Brain. Axial plane.
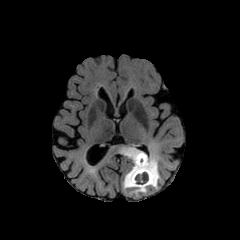
FLAIR MR image.
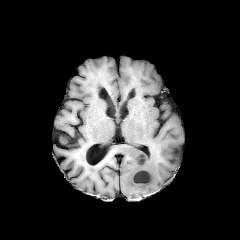
Same slice, T1-weighted MR.
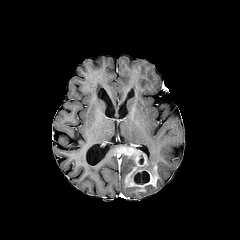
Post-contrast T1-weighted MRI.
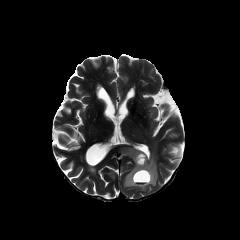
T2-weighted MR.
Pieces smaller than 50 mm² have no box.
Findings:
• peritumoral edema: [145, 155, 160, 188], [123, 173, 140, 193]
• necrotic tumor core: [134, 172, 149, 184]
• enhancing tumor: [121, 147, 158, 191]